Brain. Image size 240x240.
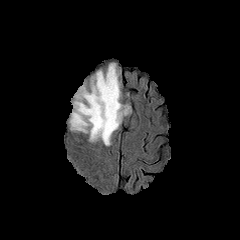
FLAIR MR image.
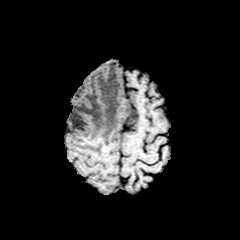
T1-weighted MR image of the same slice.
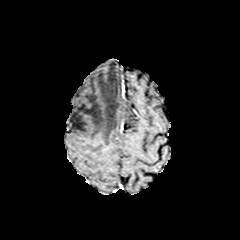
Post-contrast T1-weighted MR image.
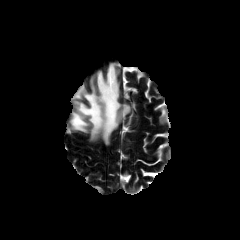
T2-weighted MRI.
peritumoral edema: [69, 63, 130, 145]